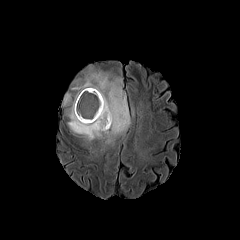
FLAIR MR image.
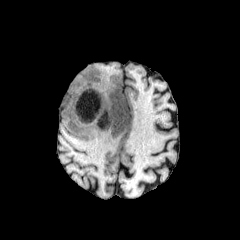
T1-weighted MR.
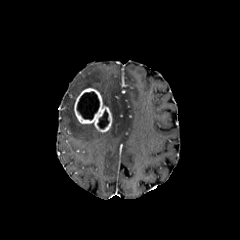
Post-contrast T1-weighted MR image.
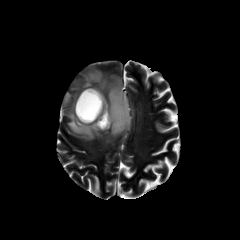
T2-weighted MR image.
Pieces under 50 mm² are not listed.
The enhancing tumor is at box(74, 88, 112, 132). The largest peritumoral edema region lies within box(63, 65, 131, 144). 2 necrotic tumor core regions are located at box(77, 92, 99, 119); box(97, 110, 108, 128).